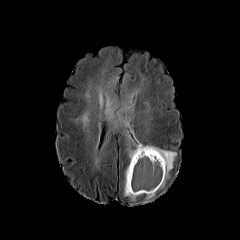
FLAIR magnetic resonance.
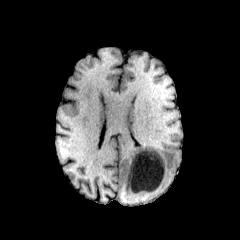
T1-weighted MR of the same slice.
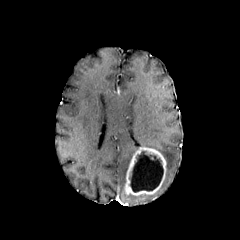
Post-contrast T1-weighted MR image.
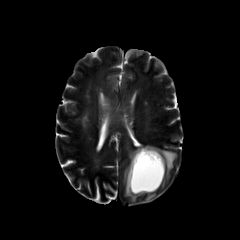
Same slice, T2-weighted magnetic resonance.
Brain.
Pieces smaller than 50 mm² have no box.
necrotic tumor core = region(129, 151, 163, 192)
peritumoral edema = region(105, 98, 176, 188); region(124, 189, 137, 200)
enhancing tumor = region(125, 147, 166, 195)